FLAIR MRI.
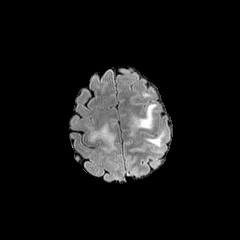
T1-weighted MR.
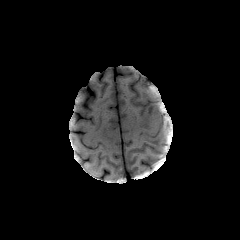
Post-contrast T1-weighted magnetic resonance.
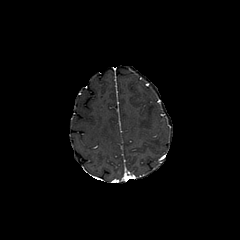
T2-weighted magnetic resonance.
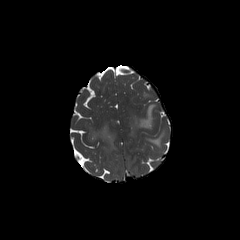
Image size 240x240
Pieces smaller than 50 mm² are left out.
peritumoral edema at bbox(131, 104, 157, 129); bbox(91, 124, 114, 147); bbox(146, 130, 165, 147)